FLAIR MR.
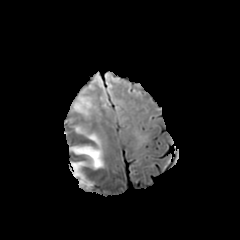
T1-weighted MR image.
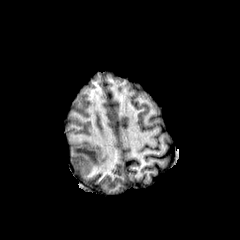
Post-contrast T1-weighted MR image.
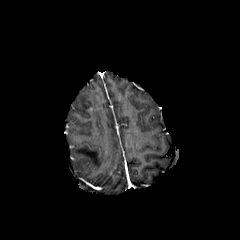
T2-weighted MRI.
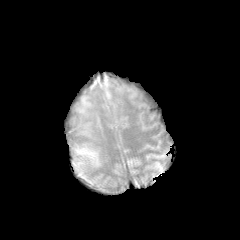
Axial plane.
peritumoral edema = 71 125 103 186